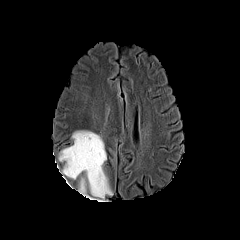
FLAIR MR.
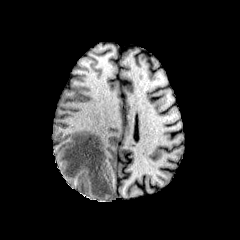
T1-weighted MRI of the same slice.
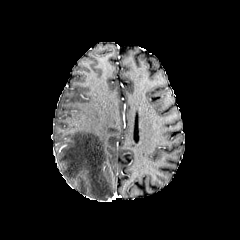
Post-contrast T1-weighted MR of the same slice.
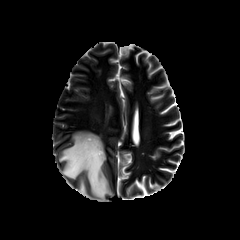
T2-weighted MR of the same slice.
240x240; Brain
2 peritumoral edema regions are bounded by <bbox>78, 178, 87, 195</bbox>, <bbox>59, 131, 112, 200</bbox>.